Head.
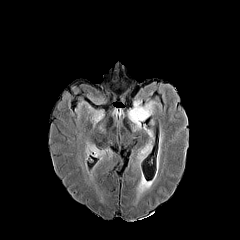
FLAIR MRI.
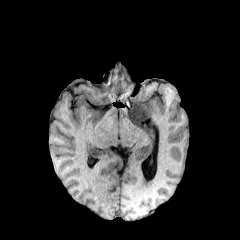
T1-weighted magnetic resonance of the same slice.
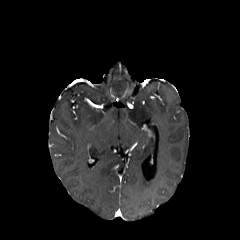
Post-contrast T1-weighted MR image of the same slice.
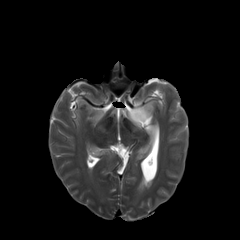
T2-weighted MR.
peritumoral edema: bounding box bbox=[128, 99, 155, 127]; bbox=[138, 141, 151, 159]; bbox=[85, 110, 110, 157]